Slice 103/155; Head; Image width 240 mm
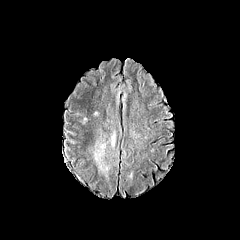
FLAIR MR.
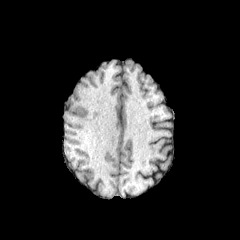
T1-weighted MR image.
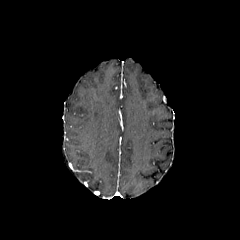
Post-contrast T1-weighted MR image.
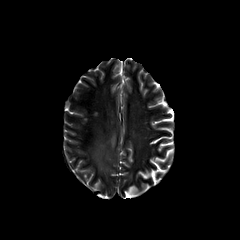
Same slice, T2-weighted MR image.
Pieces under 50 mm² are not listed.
peritumoral edema at [x1=94, y1=144, x2=108, y2=171]